Brain | Axial view
FLAIR MRI.
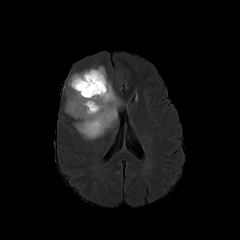
T1-weighted magnetic resonance.
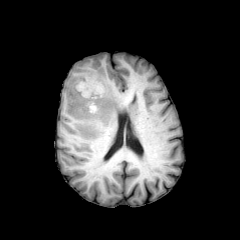
Post-contrast T1-weighted MRI.
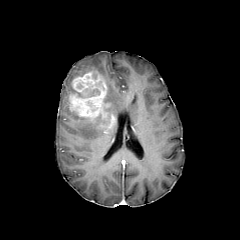
T2-weighted MRI.
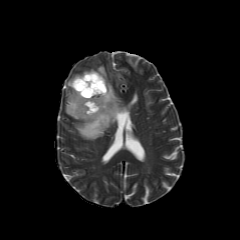
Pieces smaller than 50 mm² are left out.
necrotic_tumor_core:
  - bbox=[78, 89, 99, 97]
enhancing_tumor:
  - bbox=[69, 71, 115, 126]
peritumoral_edema:
  - bbox=[65, 66, 121, 139]